FLAIR MR image.
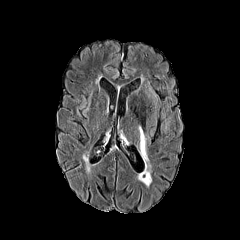
T1-weighted MRI.
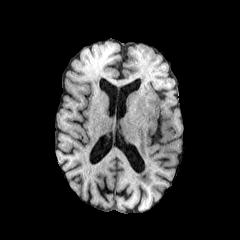
Post-contrast T1-weighted MR.
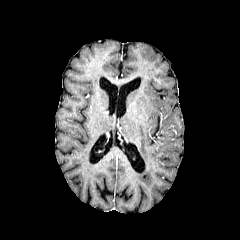
T2-weighted MR.
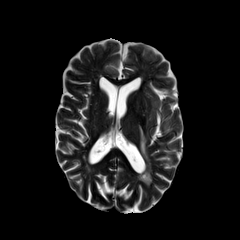
240x240 px; Axial view; Brain
The peritumoral edema is bounded by bbox=[139, 127, 148, 165].